Axial slice, Head
FLAIR magnetic resonance.
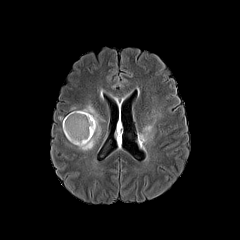
T1-weighted magnetic resonance.
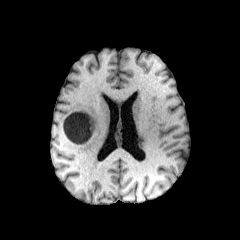
Post-contrast T1-weighted magnetic resonance.
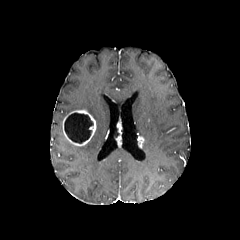
T2-weighted MR image.
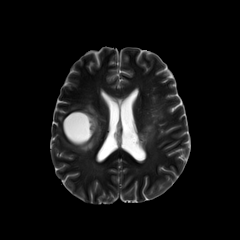
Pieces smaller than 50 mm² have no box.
The 2 largest peritumoral edema regions are bounded by (139, 115, 156, 149), (78, 104, 103, 151). 3 enhancing tumor regions are located at (137, 134, 144, 147), (62, 109, 96, 146), (116, 123, 121, 144). The necrotic tumor core is at (64, 113, 93, 143).